FLAIR MRI.
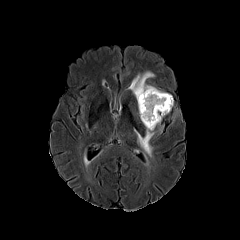
T1-weighted MR.
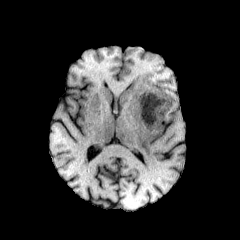
Post-contrast T1-weighted MR image.
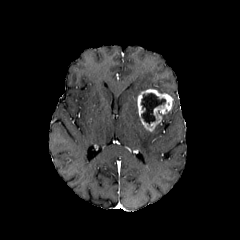
T2-weighted MR image.
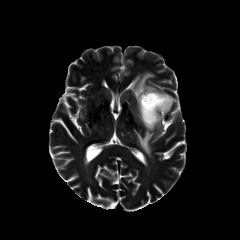
Head.
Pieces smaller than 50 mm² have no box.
Segmented structures:
• peritumoral edema: (left=134, top=130, right=154, bottom=157), (left=128, top=71, right=165, bottom=98)
• enhancing tumor: (left=137, top=89, right=173, bottom=131)
• necrotic tumor core: (left=141, top=93, right=165, bottom=124)